FLAIR MRI.
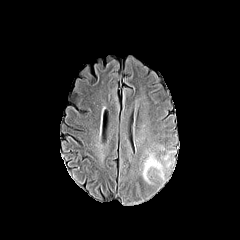
T1-weighted magnetic resonance.
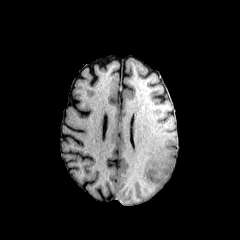
Post-contrast T1-weighted magnetic resonance.
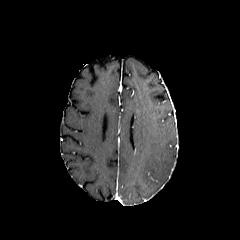
T2-weighted magnetic resonance.
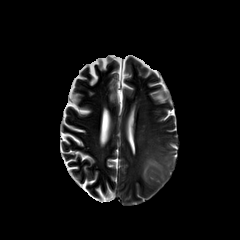
Brain
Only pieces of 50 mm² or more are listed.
peritumoral edema — left=142, top=155, right=163, bottom=181